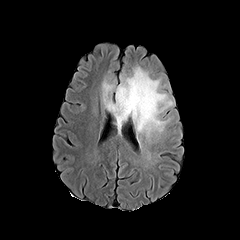
FLAIR MR image.
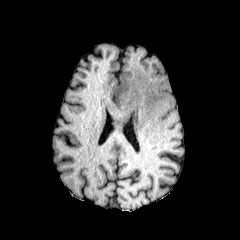
T1-weighted MR image of the same slice.
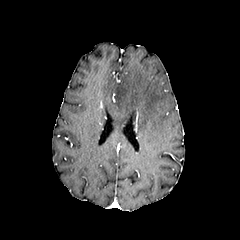
Same slice, post-contrast T1-weighted MR image.
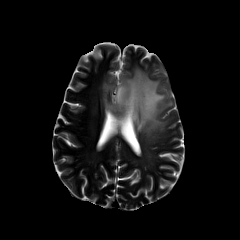
T2-weighted MRI of the same slice.
Brain. 240x240. Axial plane.
The peritumoral edema is at 102,67,173,136.